FLAIR magnetic resonance.
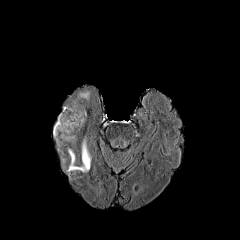
T1-weighted magnetic resonance.
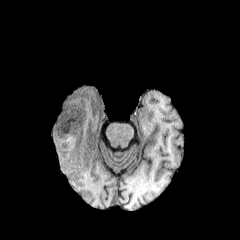
Post-contrast T1-weighted MR.
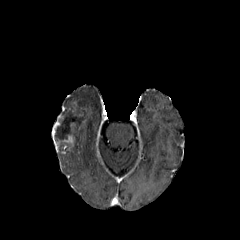
T2-weighted MR image.
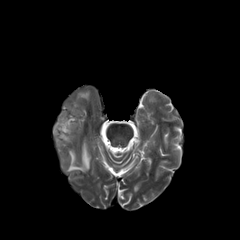
Axial plane
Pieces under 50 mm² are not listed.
The largest necrotic tumor core region is at [55, 102, 84, 140]. The largest enhancing tumor region is located at [53, 113, 74, 145]. The 2 largest peritumoral edema regions are bounded by [67, 140, 90, 171], [77, 92, 89, 100].